Brain
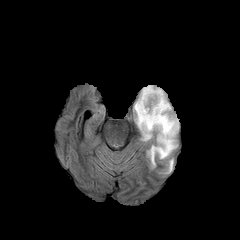
FLAIR MR.
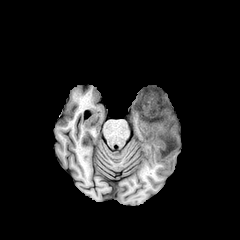
Same slice, T1-weighted magnetic resonance.
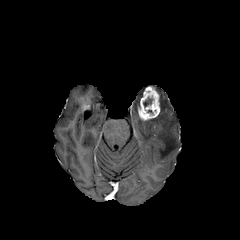
Same slice, post-contrast T1-weighted MR image.
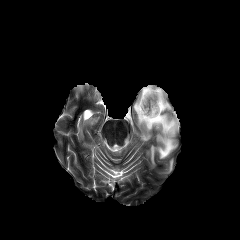
T2-weighted MR of the same slice.
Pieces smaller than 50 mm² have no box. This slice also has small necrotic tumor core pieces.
enhancing_tumor:
  - [137,86,160,120]
peritumoral_edema:
  - [167,159,173,172]
  - [133,87,178,167]